Brain | Slice 45 of 155 | Axial plane | 240x240 px
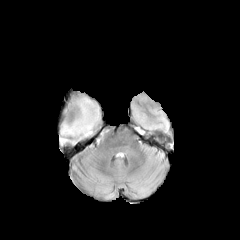
FLAIR MRI.
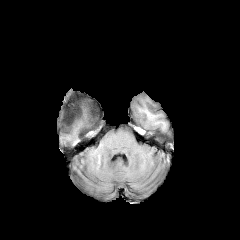
T1-weighted MRI.
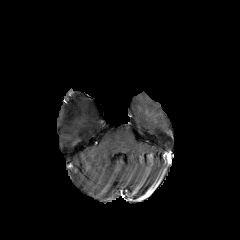
Same slice, post-contrast T1-weighted MR.
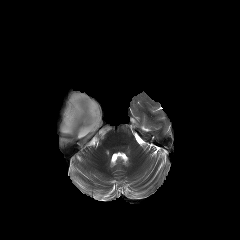
Same slice, T2-weighted magnetic resonance.
peritumoral edema: (left=60, top=94, right=100, bottom=139), (left=59, top=137, right=71, bottom=144)